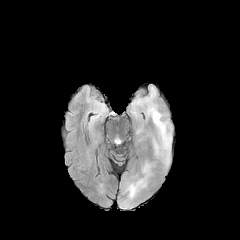
FLAIR MR image.
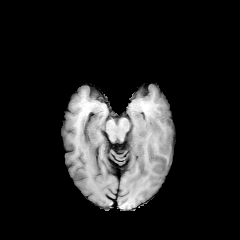
T1-weighted MRI of the same slice.
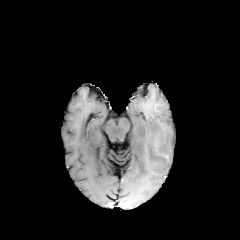
Post-contrast T1-weighted MR image.
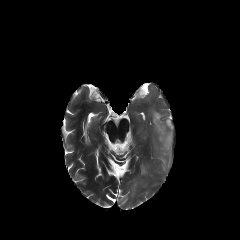
T2-weighted MR.
Axial view. Head.
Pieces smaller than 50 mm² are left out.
{
  "peritumoral_edema": [
    "l=152, t=111, r=171, b=148"
  ]
}